Brain
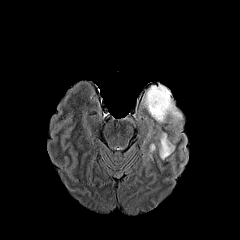
FLAIR MR image.
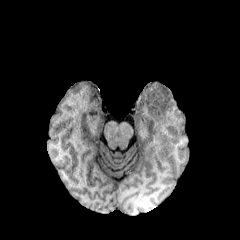
T1-weighted magnetic resonance.
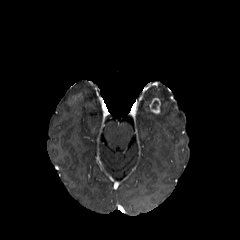
Post-contrast T1-weighted MRI.
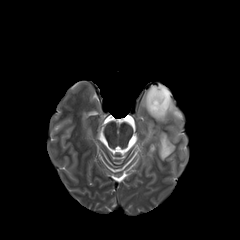
Same slice, T2-weighted MR image.
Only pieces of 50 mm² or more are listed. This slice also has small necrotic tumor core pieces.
Findings:
• enhancing tumor: (149, 97, 160, 113)
• peritumoral edema: (159, 132, 174, 159), (142, 84, 182, 123)